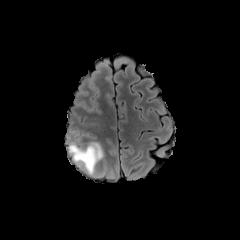
FLAIR magnetic resonance.
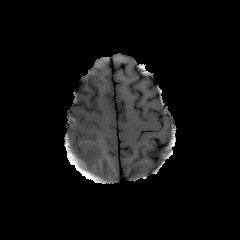
Same slice, T1-weighted MRI.
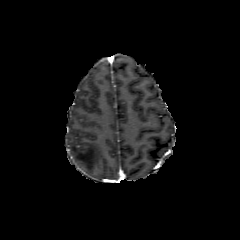
Same slice, post-contrast T1-weighted MR.
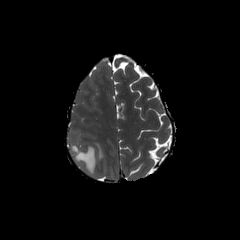
Same slice, T2-weighted magnetic resonance.
Head; Axial view
peritumoral_edema:
  - [69, 142, 103, 176]